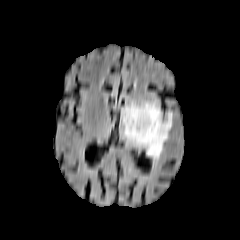
FLAIR MR image.
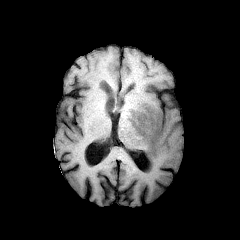
Same slice, T1-weighted MR image.
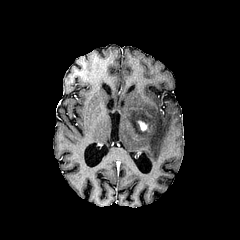
Post-contrast T1-weighted MR.
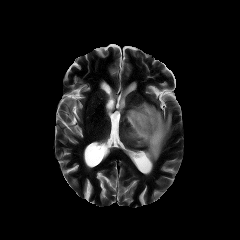
T2-weighted magnetic resonance of the same slice.
Image size 240x240
enhancing tumor = [x1=138, y1=121, x2=148, y2=131]
peritumoral edema = [x1=122, y1=101, x2=172, y2=161]